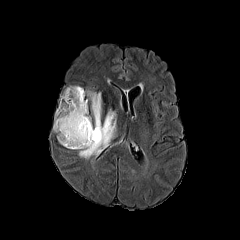
FLAIR MR image.
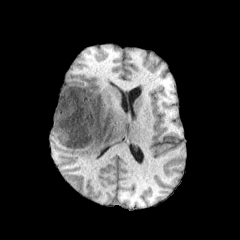
Same slice, T1-weighted MR image.
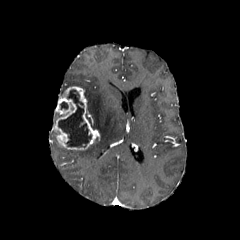
Same slice, post-contrast T1-weighted MR image.
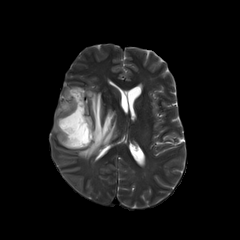
T2-weighted magnetic resonance of the same slice.
Axial slice, Brain
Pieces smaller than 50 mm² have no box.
The largest peritumoral edema region is bounded by region(78, 90, 116, 159). The largest necrotic tumor core region is at region(58, 90, 91, 146). The largest enhancing tumor region lies within region(52, 86, 100, 149).